Brain. Slice index 63. Image width 240 mm.
FLAIR MRI.
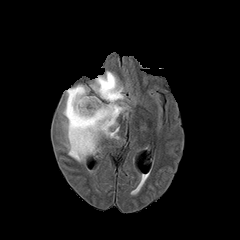
T1-weighted MRI.
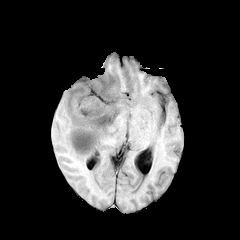
Post-contrast T1-weighted MR.
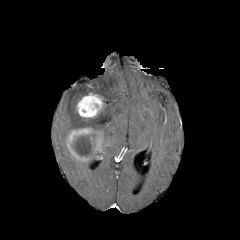
T2-weighted magnetic resonance.
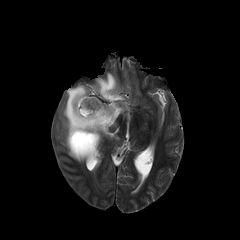
2 enhancing tumor regions appear at rect(76, 92, 104, 118); rect(66, 127, 102, 160). 2 peritumoral edema regions appear at rect(62, 71, 128, 162); rect(84, 151, 95, 159).